240x240 px; Head
FLAIR MR.
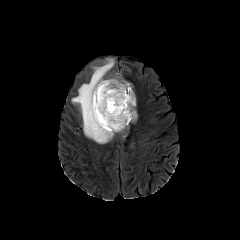
T1-weighted MR image.
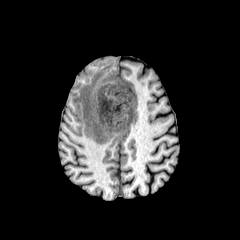
Post-contrast T1-weighted MR.
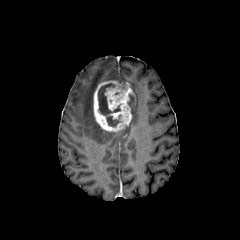
T2-weighted MR.
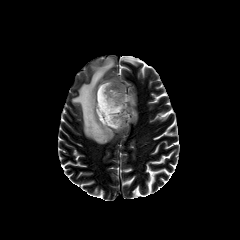
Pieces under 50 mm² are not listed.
The 2 largest peritumoral edema regions are bounded by 128:94:137:121, 71:58:118:143. The largest necrotic tumor core region is at 98:83:120:126. The enhancing tumor lies within 93:80:132:131.